Brain.
FLAIR magnetic resonance.
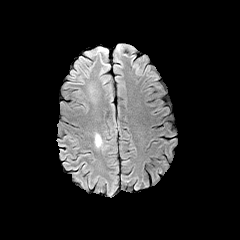
T1-weighted MR.
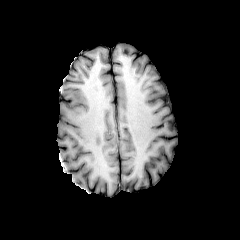
Post-contrast T1-weighted MR image.
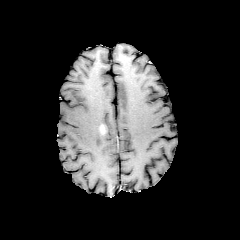
T2-weighted MR image.
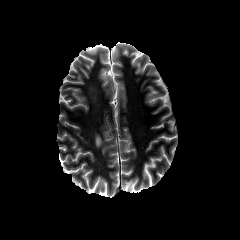
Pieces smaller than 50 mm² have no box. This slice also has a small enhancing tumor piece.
Annotated regions:
- peritumoral edema: 93,123,111,149